FLAIR MR image.
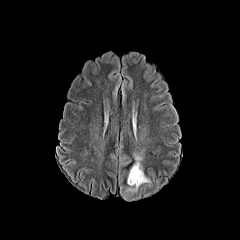
T1-weighted MR image.
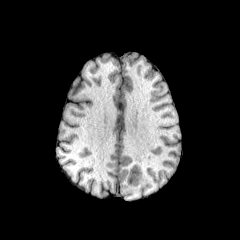
Post-contrast T1-weighted MR image.
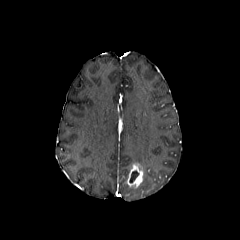
T2-weighted magnetic resonance.
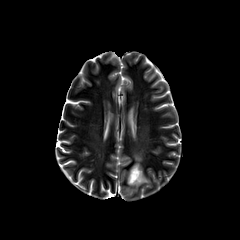
Head.
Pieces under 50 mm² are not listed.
The 2 largest peritumoral edema regions are bounded by 134,154,142,164; 140,175,150,185. The necrotic tumor core appears at 129,171,138,182. The enhancing tumor lies within 127,163,143,187.